FLAIR magnetic resonance.
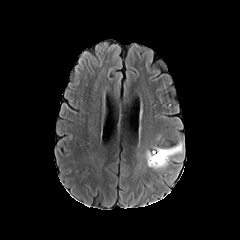
T1-weighted MR.
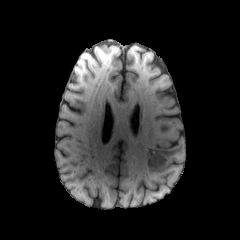
Post-contrast T1-weighted MR.
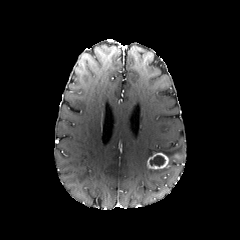
T2-weighted MRI.
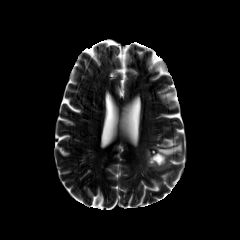
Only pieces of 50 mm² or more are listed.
The necrotic tumor core is bounded by <bbox>150, 155, 165, 166</bbox>. The enhancing tumor is bounded by <bbox>147, 153, 168, 169</bbox>. The 2 largest peritumoral edema regions are bounded by <bbox>144, 149, 155, 160</bbox>, <bbox>152, 133, 185, 162</bbox>.